FLAIR MR image.
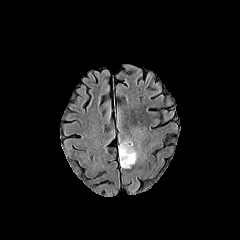
T1-weighted MR image.
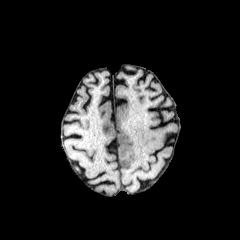
Post-contrast T1-weighted MR image.
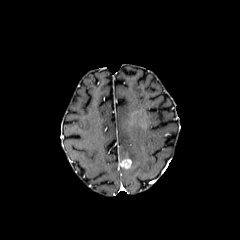
T2-weighted magnetic resonance.
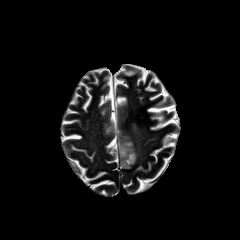
The enhancing tumor is at box(120, 158, 131, 168). The peritumoral edema is bounded by box(119, 141, 137, 164).